Brain. 240x240.
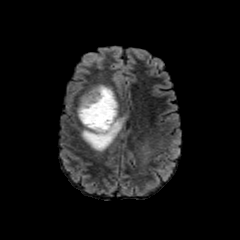
FLAIR MR.
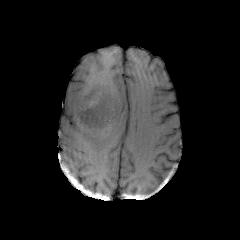
T1-weighted MRI of the same slice.
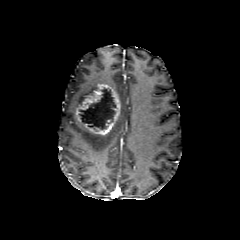
Post-contrast T1-weighted MR of the same slice.
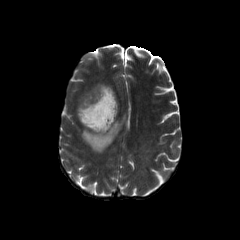
Same slice, T2-weighted MRI.
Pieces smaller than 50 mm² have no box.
enhancing tumor = left=76, top=84, right=119, bottom=135
necrotic tumor core = left=79, top=88, right=116, bottom=129
peritumoral edema = left=81, top=116, right=125, bottom=152; left=79, top=85, right=96, bottom=104